Image width 240 mm | Axial view | Head
FLAIR magnetic resonance.
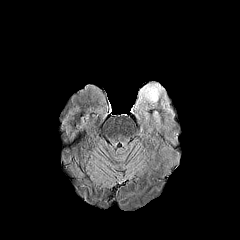
T1-weighted MRI.
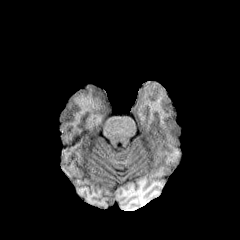
Post-contrast T1-weighted MR image.
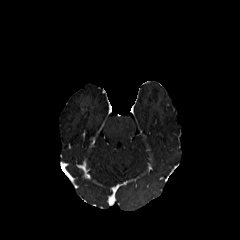
T2-weighted MR.
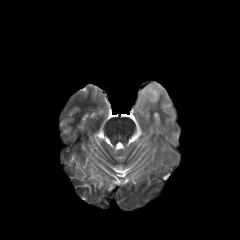
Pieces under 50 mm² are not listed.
The 2 largest peritumoral edema regions are located at (left=135, top=83, right=168, bottom=121), (left=153, top=111, right=159, bottom=123).